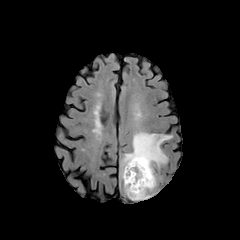
FLAIR MR.
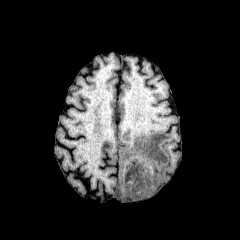
Same slice, T1-weighted magnetic resonance.
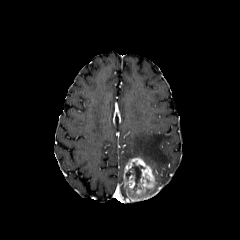
Post-contrast T1-weighted MRI of the same slice.
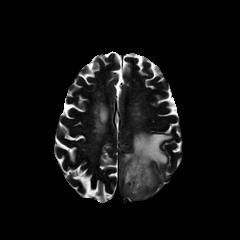
T2-weighted MR image.
240x240; Head
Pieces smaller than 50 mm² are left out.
* peritumoral edema: x1=121, y1=131, x2=172, y2=178
* necrotic tumor core: x1=126, y1=163, x2=144, y2=189
* enhancing tumor: x1=123, y1=157, x2=156, y2=201